FLAIR MR image.
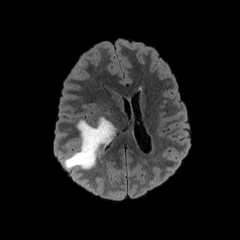
T1-weighted MR.
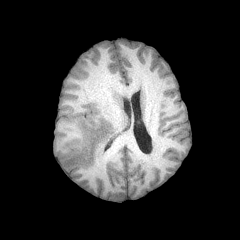
Post-contrast T1-weighted MR.
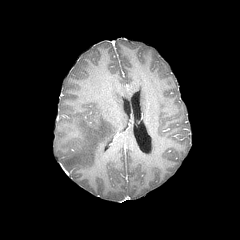
T2-weighted MR.
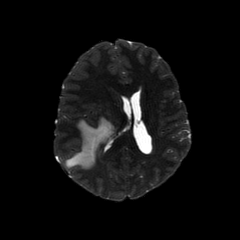
Brain. 240x240 px.
<segmentation>
  <peritumoral_edema>left=63, top=117, right=115, bottom=169</peritumoral_edema>
</segmentation>